Image covers 240 mm x 240 mm; 240x240; Slice 73/155
FLAIR MR.
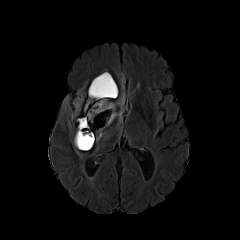
T1-weighted MR image.
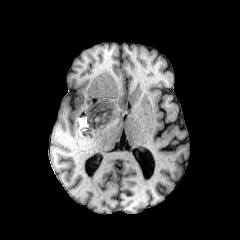
Post-contrast T1-weighted magnetic resonance.
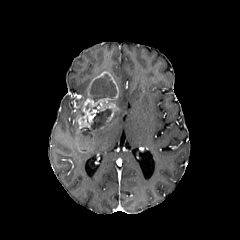
T2-weighted MRI.
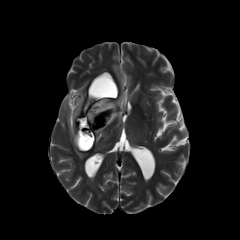
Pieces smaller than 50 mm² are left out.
The 2 largest necrotic tumor core regions are bounded by 89, 74, 116, 101; 77, 109, 111, 148. The enhancing tumor is bounded by 73, 71, 118, 150. The 3 largest peritumoral edema regions appear at 96, 92, 125, 142; 71, 109, 79, 119; 63, 96, 68, 108.